Axial view. Image width 240 mm. Brain. Slice 115 of 155.
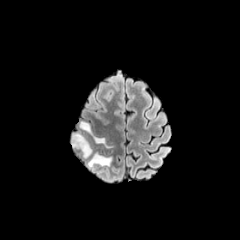
FLAIR MR.
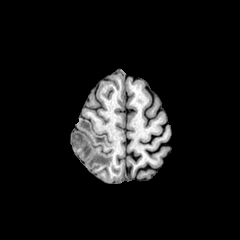
T1-weighted MRI of the same slice.
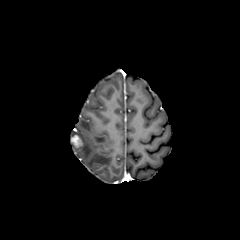
Post-contrast T1-weighted magnetic resonance.
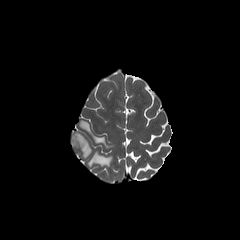
T2-weighted magnetic resonance.
- peritumoral edema: box=[71, 131, 112, 167]; box=[79, 120, 113, 148]
- enhancing tumor: box=[71, 134, 83, 147]